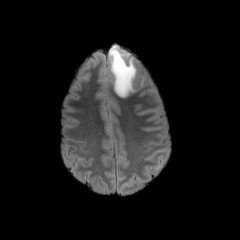
FLAIR magnetic resonance.
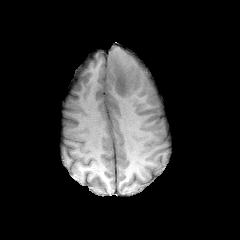
T1-weighted magnetic resonance of the same slice.
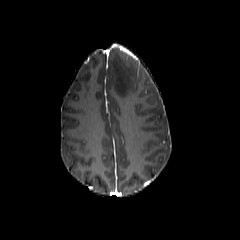
Post-contrast T1-weighted MR image.
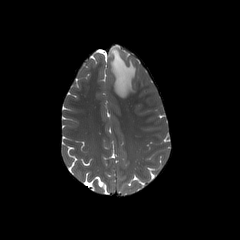
T2-weighted MRI.
Axial view | 240x240
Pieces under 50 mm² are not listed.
The largest peritumoral edema region lies within {"x1": 109, "y1": 46, "x2": 136, "y2": 97}.